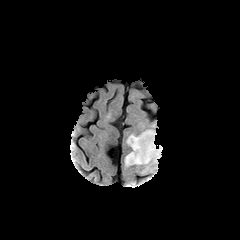
FLAIR MRI.
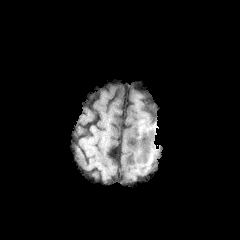
T1-weighted MRI.
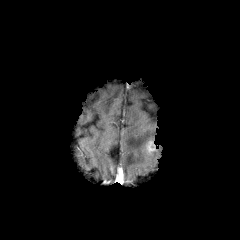
Same slice, post-contrast T1-weighted MR.
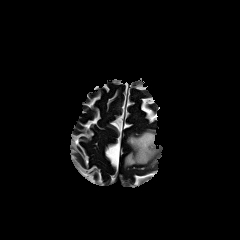
T2-weighted MR image of the same slice.
Head, Axial view
Segmented structures:
- enhancing tumor: 144:140:156:153
- peritumoral edema: 124:129:162:166